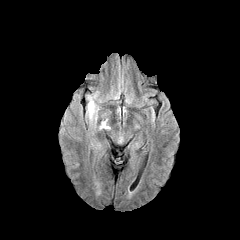
FLAIR MRI.
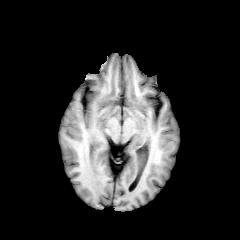
T1-weighted MRI of the same slice.
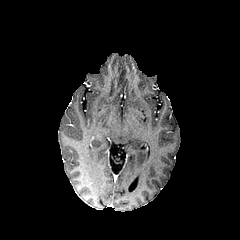
Post-contrast T1-weighted MR image of the same slice.
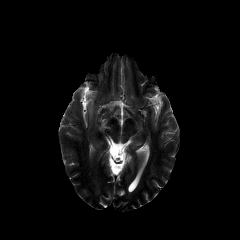
T2-weighted MR of the same slice.
Brain
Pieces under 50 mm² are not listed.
Findings:
* peritumoral edema: bbox=[88, 100, 94, 118]